Axial slice | Head | Image width 240 mm, 1.00 mm slice spacing
FLAIR MR image.
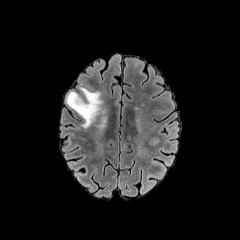
T1-weighted MR image.
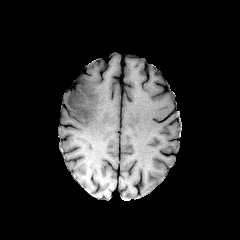
Post-contrast T1-weighted MR image.
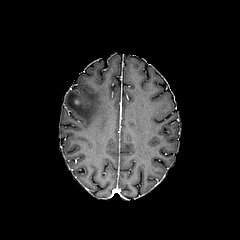
T2-weighted MR image.
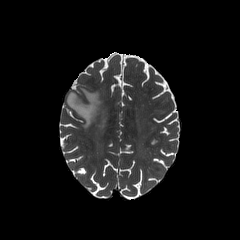
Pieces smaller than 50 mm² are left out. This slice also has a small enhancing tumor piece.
The peritumoral edema lies within {"x1": 66, "y1": 86, "x2": 102, "y2": 128}.